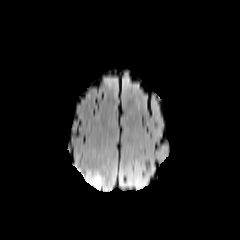
FLAIR magnetic resonance.
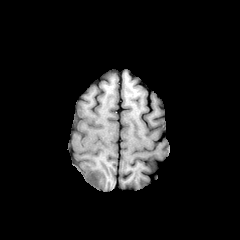
T1-weighted MRI of the same slice.
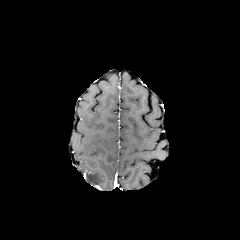
Same slice, post-contrast T1-weighted MRI.
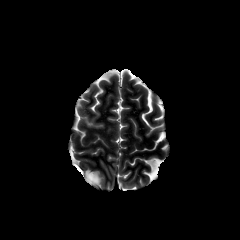
T2-weighted MR image of the same slice.
Brain; Axial view
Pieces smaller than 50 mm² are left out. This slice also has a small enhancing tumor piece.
The peritumoral edema lies within box=[85, 172, 103, 186].